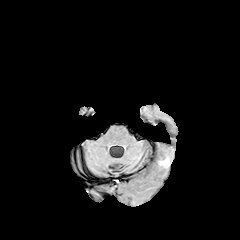
FLAIR magnetic resonance.
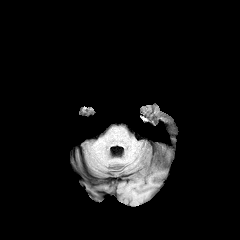
T1-weighted magnetic resonance.
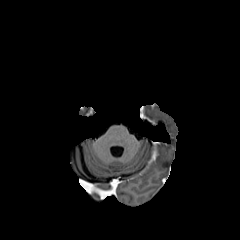
Post-contrast T1-weighted MR.
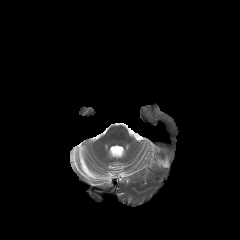
Same slice, T2-weighted MRI.
Axial slice. Brain.
Findings:
* peritumoral edema: 159, 158, 168, 165